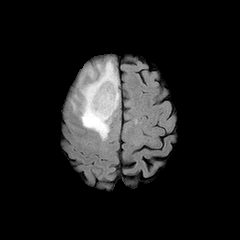
FLAIR MR.
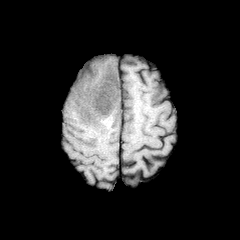
T1-weighted MR.
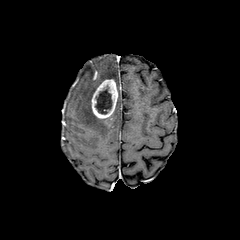
Post-contrast T1-weighted MR.
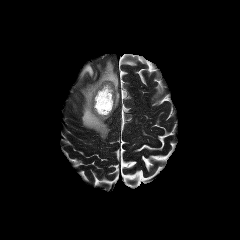
Same slice, T2-weighted MR.
Head.
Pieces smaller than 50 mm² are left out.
peritumoral edema = rect(81, 66, 94, 79); rect(80, 60, 118, 139)
necrotic tumor core = rect(95, 88, 112, 114)
enhancing tumor = rect(91, 79, 118, 118)